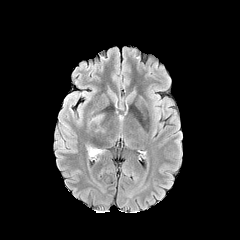
FLAIR MRI.
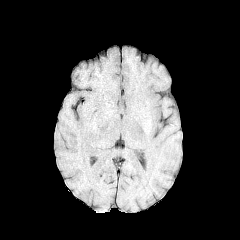
Same slice, T1-weighted MR.
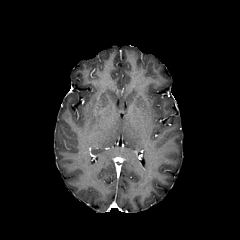
Post-contrast T1-weighted MR.
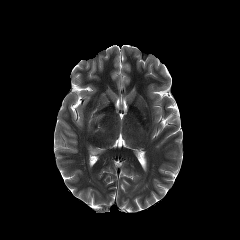
T2-weighted MR of the same slice.
Brain; Axial slice; 240x240 px
peritumoral edema: bbox=[88, 147, 103, 155]; bbox=[90, 115, 103, 122]